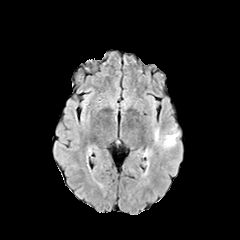
FLAIR magnetic resonance.
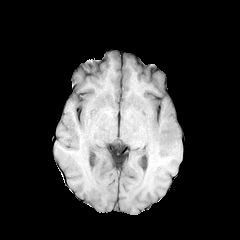
T1-weighted MR image.
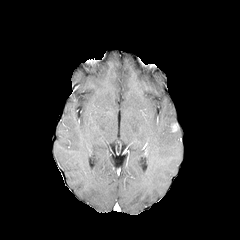
Post-contrast T1-weighted MRI.
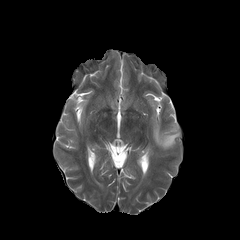
T2-weighted MR image.
peritumoral edema: box=[153, 126, 179, 148] | enhancing tumor: box=[171, 123, 178, 132]